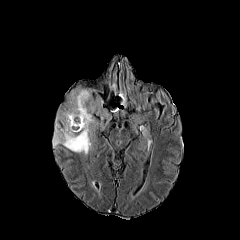
FLAIR MR image.
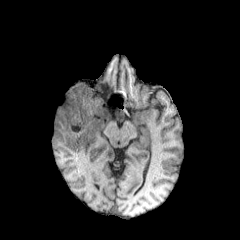
T1-weighted MR image of the same slice.
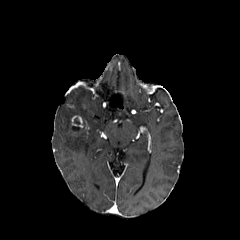
Post-contrast T1-weighted MR image of the same slice.
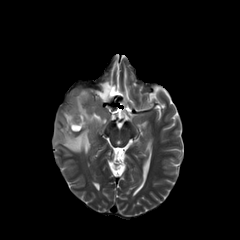
Same slice, T2-weighted magnetic resonance.
Brain
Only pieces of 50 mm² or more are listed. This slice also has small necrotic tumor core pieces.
peritumoral edema: bbox(53, 85, 113, 155) | enhancing tumor: bbox(71, 115, 83, 128)